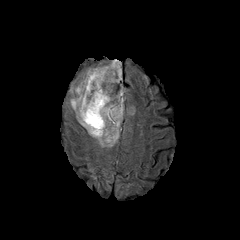
FLAIR MRI.
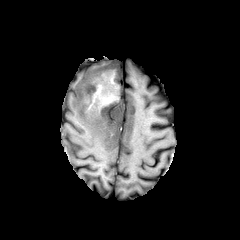
Same slice, T1-weighted MR.
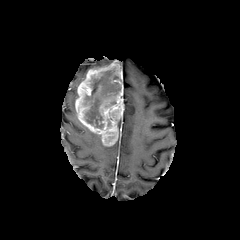
Post-contrast T1-weighted magnetic resonance.
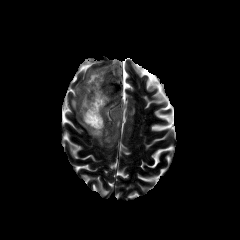
T2-weighted MRI.
Axial view. Head. Image size 240x240.
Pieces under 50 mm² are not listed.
peritumoral edema — (78,120,106,146), (70,84,78,119)
enhancing tumor — (75,60,124,146)
necrotic tumor core — (85,70,120,128)